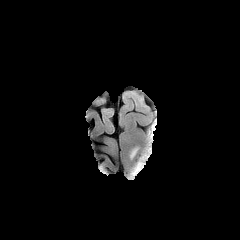
FLAIR magnetic resonance.
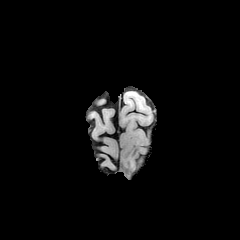
Same slice, T1-weighted MR.
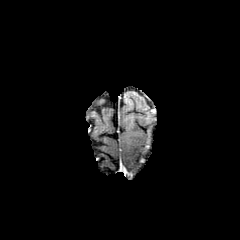
Same slice, post-contrast T1-weighted MRI.
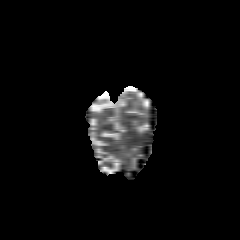
T2-weighted MRI.
Brain. 240x240.
2 peritumoral edema regions are located at l=134, t=162, r=141, b=172; l=130, t=148, r=138, b=158.